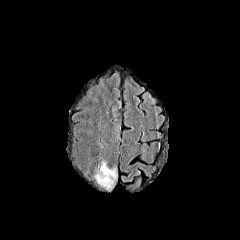
FLAIR magnetic resonance.
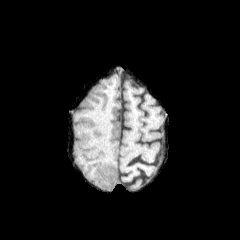
T1-weighted magnetic resonance of the same slice.
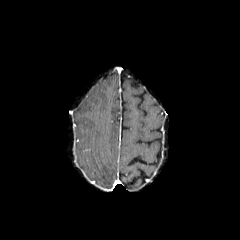
Post-contrast T1-weighted MR image of the same slice.
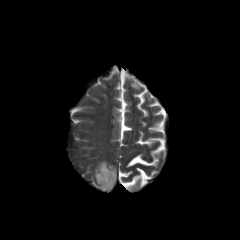
Same slice, T2-weighted MR.
peritumoral edema = 94, 161, 117, 191